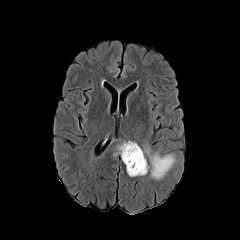
FLAIR MR.
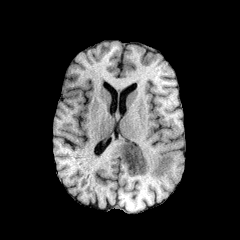
T1-weighted MR image.
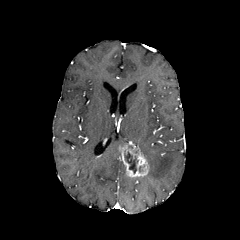
Same slice, post-contrast T1-weighted magnetic resonance.
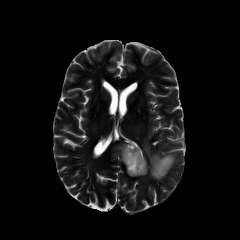
T2-weighted magnetic resonance of the same slice.
240x240 px. Brain.
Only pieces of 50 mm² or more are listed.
{
  "peritumoral_edema": [
    "[141, 145, 175, 179]"
  ],
  "enhancing_tumor": [
    "[118, 142, 149, 177]"
  ],
  "necrotic_tumor_core": [
    "[124, 152, 138, 173]"
  ]
}